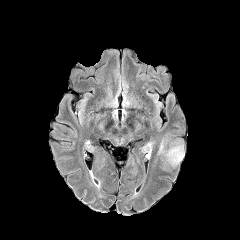
FLAIR MR.
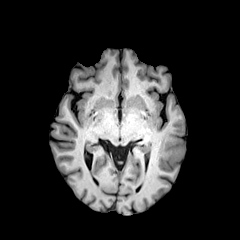
T1-weighted MRI.
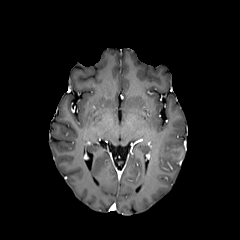
Post-contrast T1-weighted MR image.
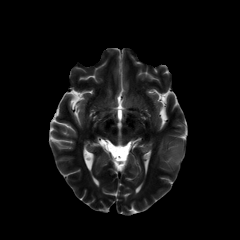
Same slice, T2-weighted MR image.
Axial slice
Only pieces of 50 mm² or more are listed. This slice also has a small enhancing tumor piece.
peritumoral edema at <box>158,141,165,153</box>, <box>166,146,183,164</box>